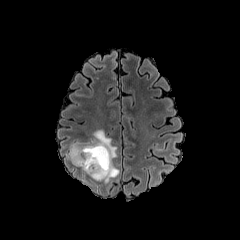
FLAIR MR.
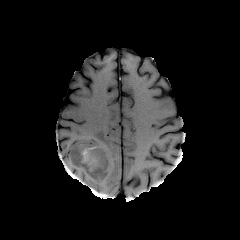
T1-weighted MR image of the same slice.
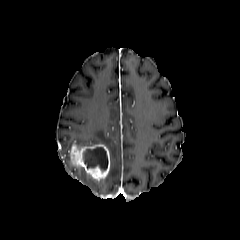
Post-contrast T1-weighted MR image of the same slice.
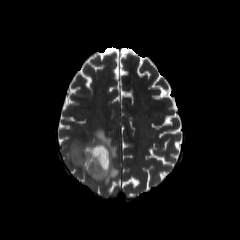
T2-weighted MR of the same slice.
Axial plane, Head
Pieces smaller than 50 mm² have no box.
peritumoral_edema:
  - x1=69, y1=129, x2=119, y2=183
necrotic_tumor_core:
  - x1=83, y1=147, x2=107, y2=169
enhancing_tumor:
  - x1=69, y1=144, x2=110, y2=180